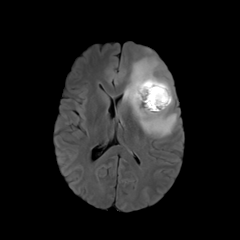
FLAIR MR.
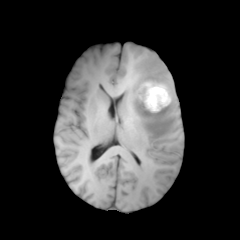
Same slice, T1-weighted magnetic resonance.
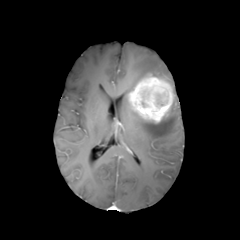
Post-contrast T1-weighted MR of the same slice.
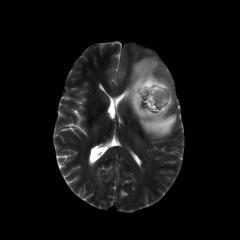
Same slice, T2-weighted MR image.
240x240
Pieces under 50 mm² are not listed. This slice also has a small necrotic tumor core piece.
• enhancing tumor: rect(128, 74, 173, 123)
• peritumoral edema: rect(122, 56, 177, 138)